FLAIR MR.
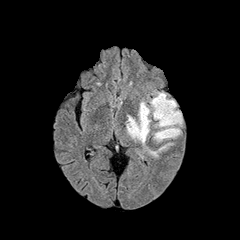
T1-weighted MR image.
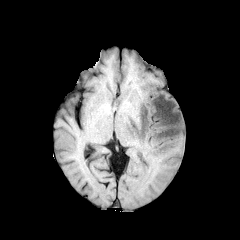
Post-contrast T1-weighted MR image.
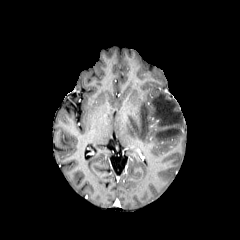
T2-weighted magnetic resonance.
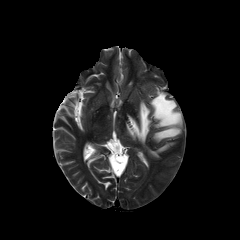
Head; Axial slice
Findings:
* peritumoral edema: [148,143,172,157], [126,101,151,145], [150,92,182,141]